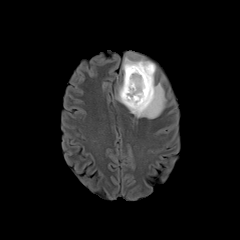
FLAIR magnetic resonance.
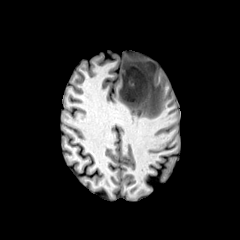
T1-weighted MRI.
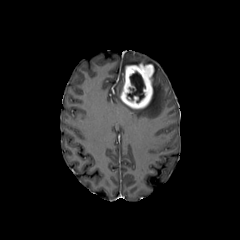
Same slice, post-contrast T1-weighted MRI.
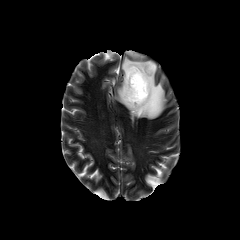
T2-weighted MR.
The peritumoral edema is located at x1=116, y1=53, x2=166, y2=118. The enhancing tumor appears at x1=120, y1=62, x2=154, y2=109. The necrotic tumor core is located at x1=127, y1=72, x2=145, y2=102.